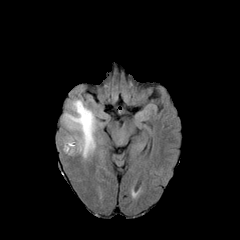
FLAIR MRI.
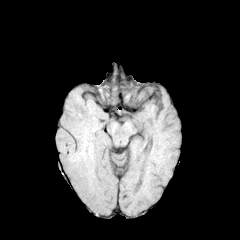
T1-weighted magnetic resonance.
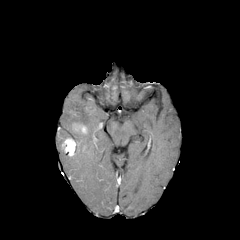
Same slice, post-contrast T1-weighted MR.
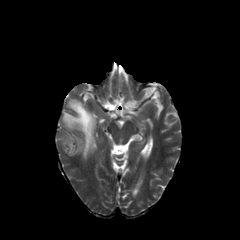
T2-weighted MR image of the same slice.
Axial plane
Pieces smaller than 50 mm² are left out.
enhancing tumor: [x1=62, y1=138, x2=76, y2=155]
peritumoral edema: [x1=62, y1=99, x2=97, y2=159]